FLAIR MR image.
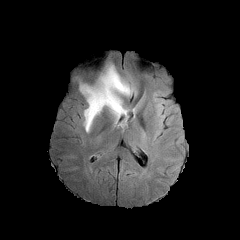
T1-weighted MR.
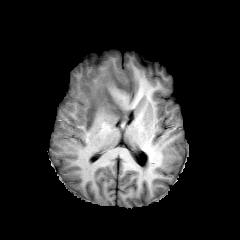
Post-contrast T1-weighted magnetic resonance.
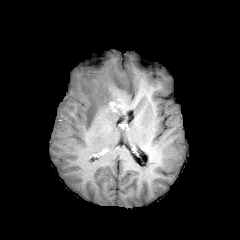
T2-weighted MR image.
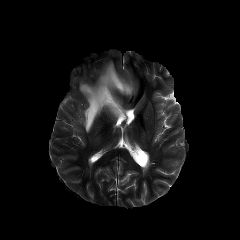
Brain
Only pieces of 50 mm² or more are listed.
peritumoral edema: [x1=79, y1=63, x2=134, y2=132]
enhancing tumor: [x1=109, y1=101, x2=125, y2=113]